Slice 66 of 155.
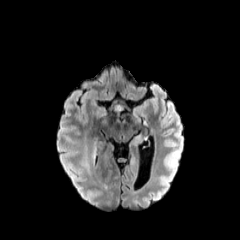
FLAIR MR.
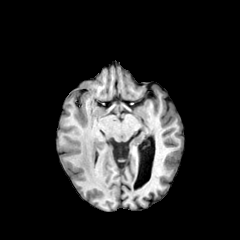
T1-weighted MR of the same slice.
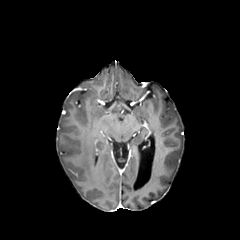
Same slice, post-contrast T1-weighted MRI.
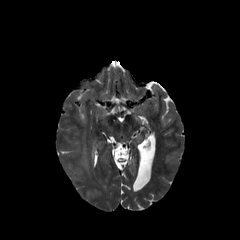
Same slice, T2-weighted MRI.
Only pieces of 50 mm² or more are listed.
peritumoral_edema:
  - left=82, top=157, right=89, bottom=172